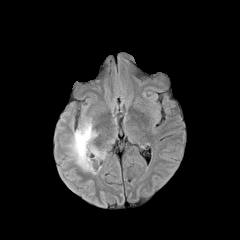
FLAIR MR image.
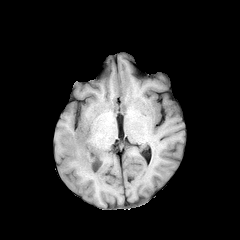
T1-weighted MRI of the same slice.
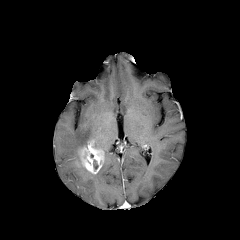
Post-contrast T1-weighted magnetic resonance of the same slice.
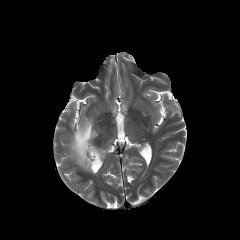
T2-weighted magnetic resonance.
Head; Axial slice
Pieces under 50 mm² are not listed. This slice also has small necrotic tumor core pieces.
{"enhancing_tumor": ["78 142 103 173"], "peritumoral_edema": ["68 117 97 171"]}